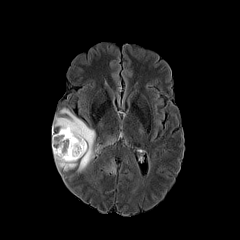
FLAIR MRI.
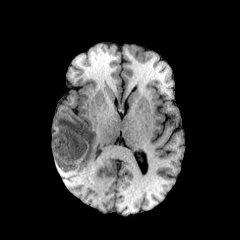
T1-weighted MR of the same slice.
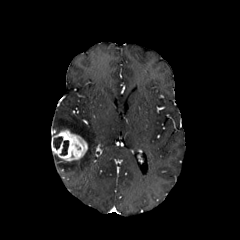
Post-contrast T1-weighted MR of the same slice.
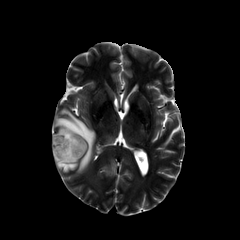
T2-weighted MR.
2 necrotic tumor core regions are bounded by <box>53,137,62,149</box>, <box>60,140,68,155</box>. The peritumoral edema is at <box>53,108,95,172</box>. The enhancing tumor lies within <box>52,129,87,161</box>.